Head. Axial view. Image size 240x240.
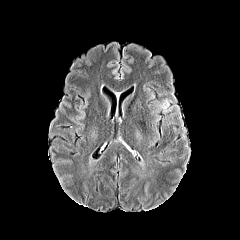
FLAIR MR.
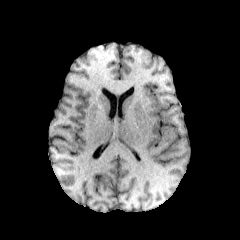
T1-weighted MRI.
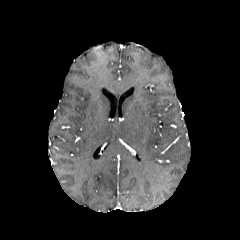
Same slice, post-contrast T1-weighted magnetic resonance.
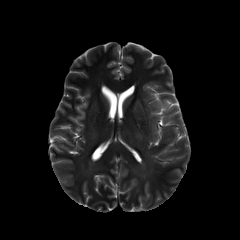
T2-weighted MR image.
The peritumoral edema appears at (left=162, top=100, right=169, bottom=113).